FLAIR magnetic resonance.
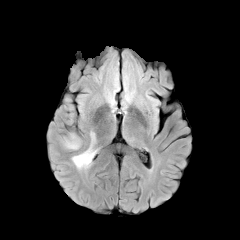
T1-weighted MRI.
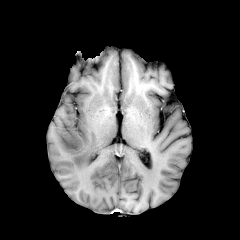
Post-contrast T1-weighted MR image.
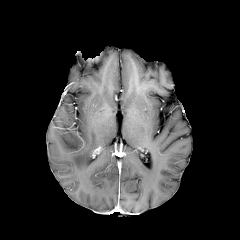
T2-weighted MRI.
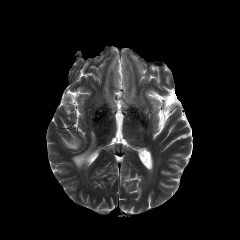
Axial view
peritumoral edema = x1=64 y1=134 x2=80 y2=149, x1=72 y1=132 x2=98 y2=169